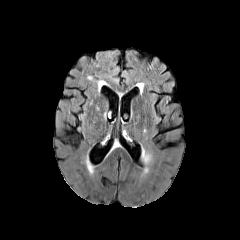
FLAIR MR image.
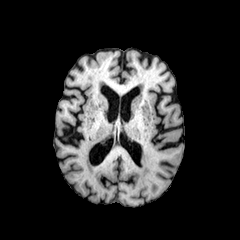
T1-weighted MRI.
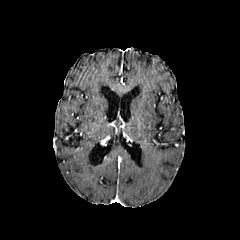
Post-contrast T1-weighted MR image of the same slice.
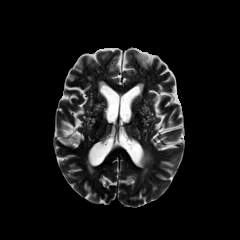
Same slice, T2-weighted MR image.
peritumoral edema at left=142, top=148, right=151, bottom=163